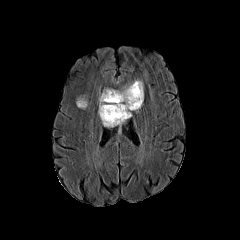
FLAIR magnetic resonance.
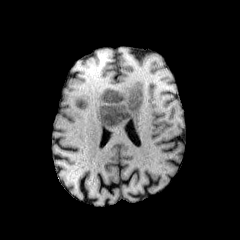
T1-weighted MR.
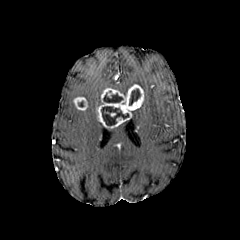
Post-contrast T1-weighted MR of the same slice.
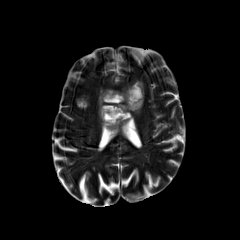
Same slice, T2-weighted magnetic resonance.
Brain | Axial view
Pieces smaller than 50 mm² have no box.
The 3 largest necrotic tumor core regions are located at bbox=[129, 89, 140, 105]; bbox=[103, 93, 123, 102]; bbox=[101, 106, 128, 125]. The 2 largest enhancing tumor regions appear at bbox=[74, 97, 87, 110]; bbox=[97, 84, 144, 128]. The largest peritumoral edema region lies within bbox=[120, 80, 143, 92].